Axial view | Head
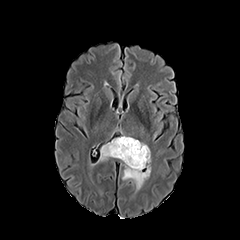
FLAIR magnetic resonance.
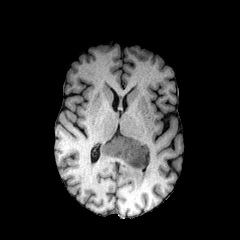
Same slice, T1-weighted MR.
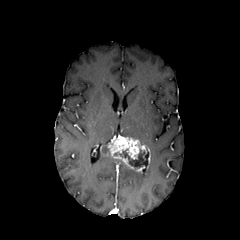
Post-contrast T1-weighted magnetic resonance of the same slice.
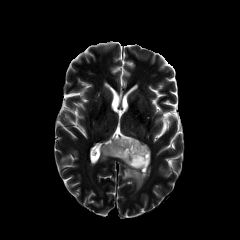
T2-weighted MR of the same slice.
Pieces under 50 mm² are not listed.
The 2 largest peritumoral edema regions appear at 122 164 150 189, 99 143 110 160. The largest enhancing tumor region lies within 106 136 150 169. The largest necrotic tumor core region appears at 119 150 148 169.